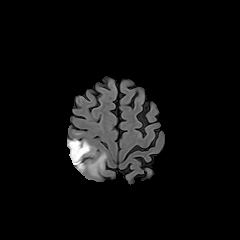
FLAIR MR.
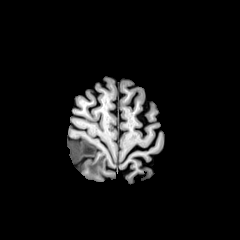
T1-weighted MRI.
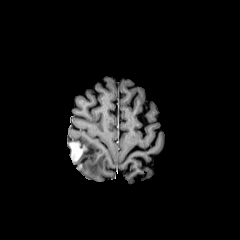
Post-contrast T1-weighted MRI.
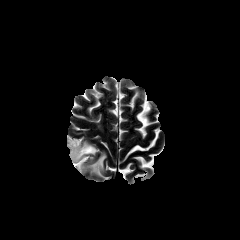
T2-weighted MR.
240x240, Head
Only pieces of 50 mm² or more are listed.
peritumoral edema: [x1=67, y1=139, x2=106, y2=176]
enhancing tumor: [x1=69, y1=142, x2=86, y2=161]